FLAIR MRI.
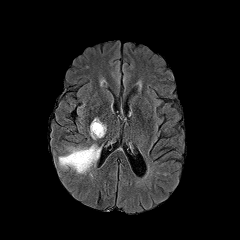
T1-weighted MRI.
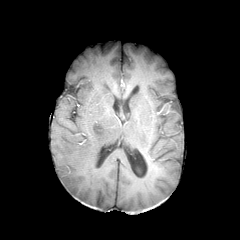
Post-contrast T1-weighted MR.
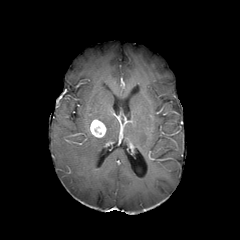
T2-weighted MR.
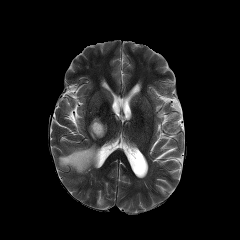
Axial slice, Brain
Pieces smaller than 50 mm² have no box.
The largest peritumoral edema region is located at x1=58, y1=144, x2=100, y2=174. The enhancing tumor is bounded by x1=90, y1=119, x2=106, y2=137.